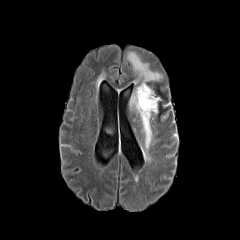
FLAIR magnetic resonance.
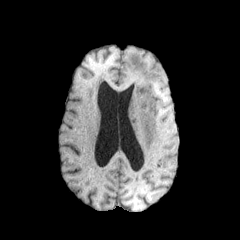
T1-weighted MR image.
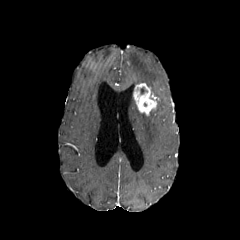
Post-contrast T1-weighted magnetic resonance.
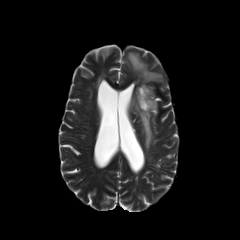
Same slice, T2-weighted MR image.
Head
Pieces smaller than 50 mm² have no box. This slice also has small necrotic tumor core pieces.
peritumoral edema: bounding box rect(129, 93, 157, 160); rect(127, 52, 161, 84)
enhancing tumor: bounding box rect(133, 83, 159, 114)